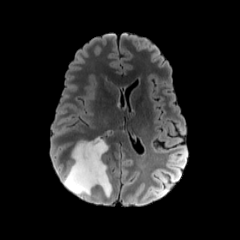
FLAIR magnetic resonance.
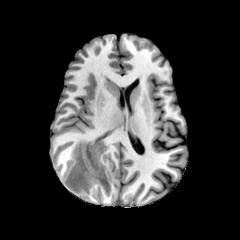
T1-weighted MRI of the same slice.
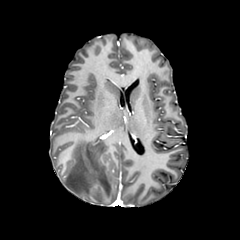
Post-contrast T1-weighted magnetic resonance.
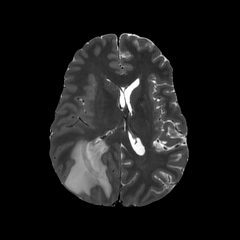
Same slice, T2-weighted magnetic resonance.
240x240 | Axial slice
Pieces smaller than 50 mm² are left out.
The largest peritumoral edema region lies within bbox(64, 136, 111, 196).